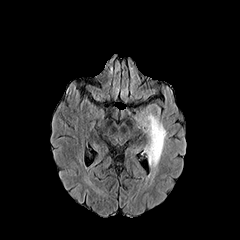
FLAIR MR image.
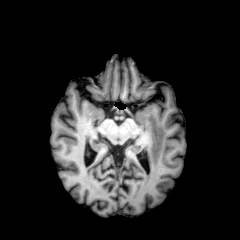
T1-weighted MRI.
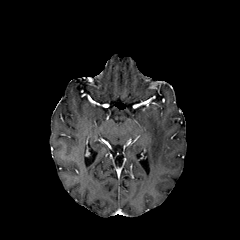
Post-contrast T1-weighted magnetic resonance.
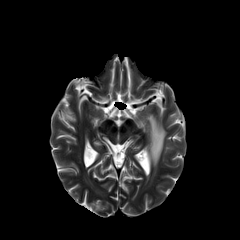
T2-weighted MR.
Brain, Axial slice, 240x240
peritumoral edema = x1=138 y1=107 x2=166 y2=184